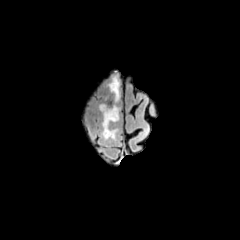
FLAIR MRI.
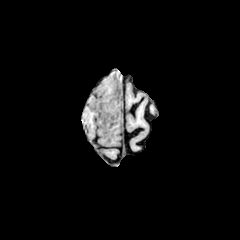
T1-weighted magnetic resonance.
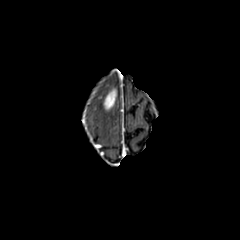
Post-contrast T1-weighted magnetic resonance of the same slice.
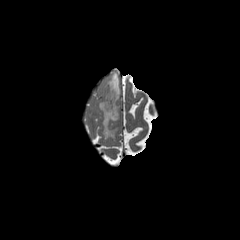
Same slice, T2-weighted MR image.
Image size 240x240
{
  "peritumoral_edema": [
    "(99,74,119,140)"
  ],
  "enhancing_tumor": [
    "(103,88,117,110)"
  ]
}